Slice 74 of 155, Image size 240x240
FLAIR MRI.
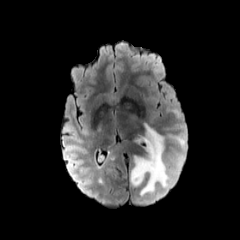
T1-weighted magnetic resonance.
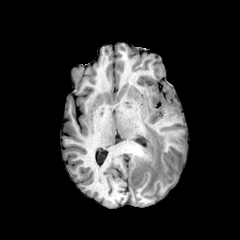
Post-contrast T1-weighted MR image.
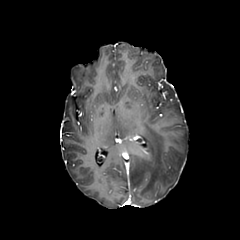
T2-weighted magnetic resonance.
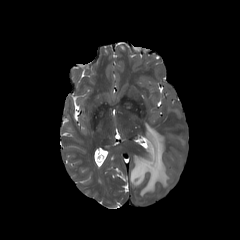
The peritumoral edema lies within left=130, top=124, right=169, bottom=195.